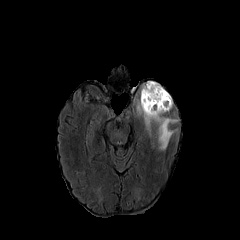
FLAIR MRI.
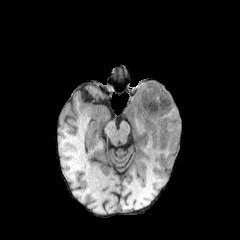
T1-weighted MRI of the same slice.
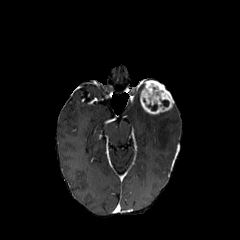
Same slice, post-contrast T1-weighted MR image.
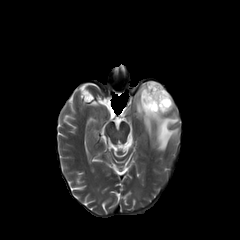
T2-weighted magnetic resonance of the same slice.
240x240 px
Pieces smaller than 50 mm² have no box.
necrotic tumor core — <bbox>147, 103, 157, 110</bbox>
enhancing tumor — <bbox>140, 80, 173, 114</bbox>
peritumoral edema — <bbox>135, 83, 178, 150</bbox>